FLAIR MR.
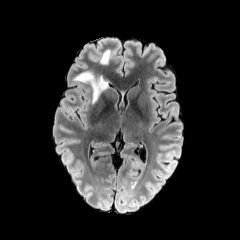
T1-weighted MR image.
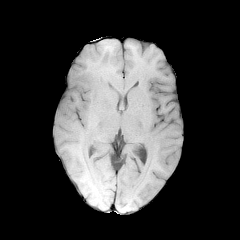
Post-contrast T1-weighted magnetic resonance.
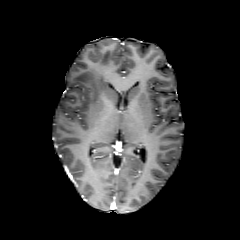
T2-weighted MRI.
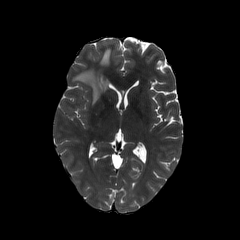
Axial view. Brain. Image size 240x240.
{
  "peritumoral_edema": [
    "bbox=[73, 70, 108, 103]",
    "bbox=[100, 50, 110, 64]"
  ]
}